Axial view
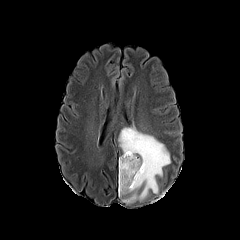
FLAIR MRI.
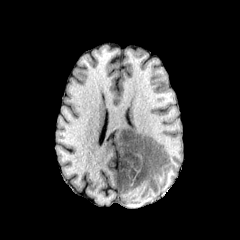
T1-weighted MR of the same slice.
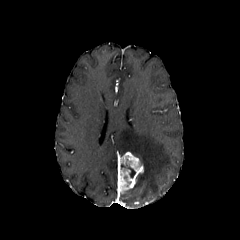
Post-contrast T1-weighted MR.
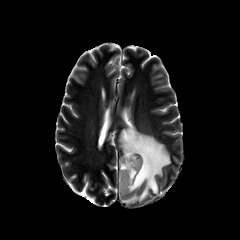
Same slice, T2-weighted magnetic resonance.
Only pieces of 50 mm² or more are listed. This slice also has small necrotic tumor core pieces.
Findings:
- enhancing tumor: (x1=118, y1=152, x2=143, y2=193)
- peritumoral edema: (x1=118, y1=127, x2=170, y2=203)